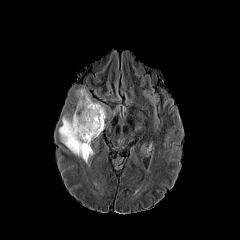
FLAIR MR.
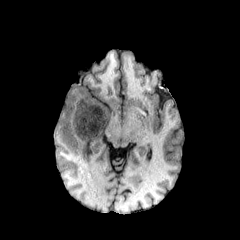
T1-weighted MR image.
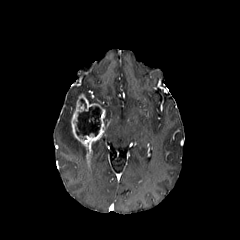
Same slice, post-contrast T1-weighted MR.
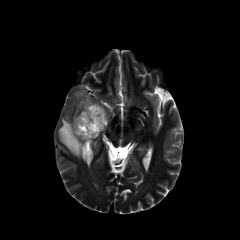
T2-weighted MR image of the same slice.
Axial view
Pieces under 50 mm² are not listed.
peritumoral_edema:
  - (x1=58, y1=116, x2=88, y2=162)
  - (x1=75, y1=88, x2=94, y2=102)
enhancing_tumor:
  - (x1=71, y1=94, x2=105, y2=152)
necrotic_tumor_core:
  - (x1=75, y1=106, x2=101, y2=139)